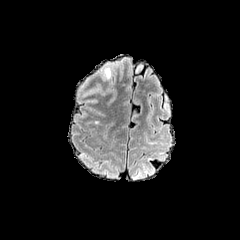
FLAIR MR image.
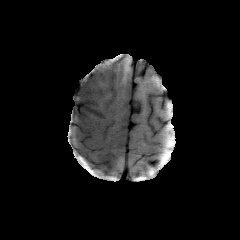
T1-weighted MR.
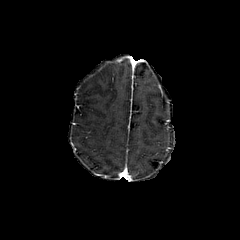
Post-contrast T1-weighted MR.
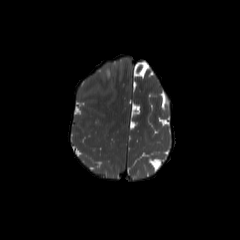
T2-weighted MRI.
Axial view
The peritumoral edema appears at 104, 67, 110, 79.